Axial view. 240x240. Slice index 68. Brain.
FLAIR magnetic resonance.
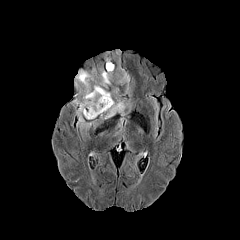
T1-weighted magnetic resonance.
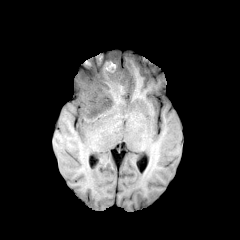
Post-contrast T1-weighted MR.
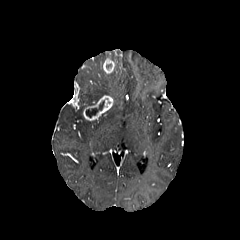
T2-weighted magnetic resonance.
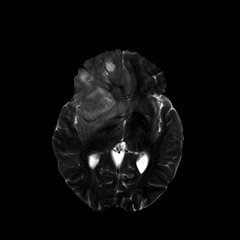
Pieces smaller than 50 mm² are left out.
Annotated regions:
- peritumoral edema: 99, 99, 129, 128; 76, 52, 129, 132
- necrotic tumor core: 86, 100, 104, 117
- enhancing tumor: 83, 95, 113, 120; 103, 57, 115, 73; 71, 82, 80, 108